Head; Image width 240 mm
FLAIR MR.
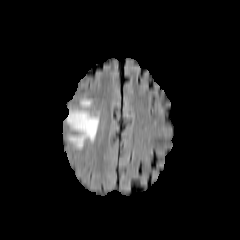
T1-weighted MRI.
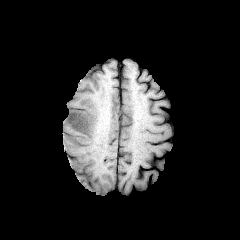
Post-contrast T1-weighted MRI.
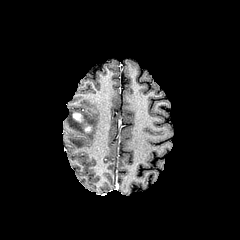
T2-weighted MR image.
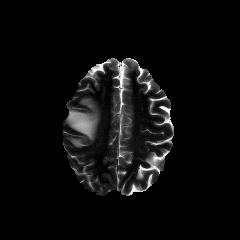
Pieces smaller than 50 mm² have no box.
Findings:
- peritumoral edema: 66, 110, 99, 147; 80, 99, 93, 106
- enhancing tumor: 73, 112, 83, 122